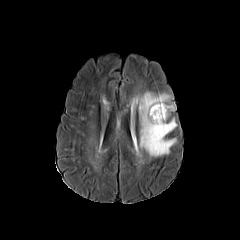
FLAIR MR.
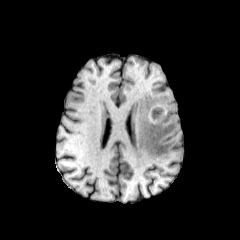
T1-weighted magnetic resonance.
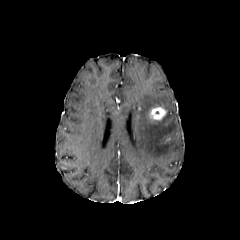
Same slice, post-contrast T1-weighted MR image.
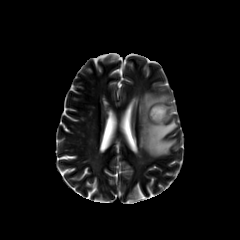
T2-weighted magnetic resonance.
Image size 240x240. Brain.
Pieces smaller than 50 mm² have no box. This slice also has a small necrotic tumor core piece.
Annotated regions:
- peritumoral edema: left=137, top=92, right=177, bottom=157
- enhancing tumor: left=149, top=106, right=166, bottom=120